Head.
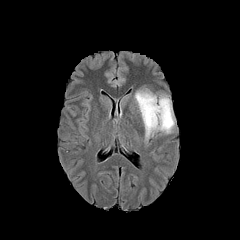
FLAIR MRI.
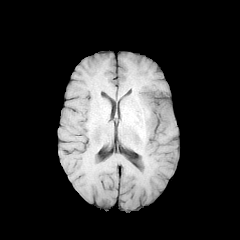
T1-weighted MRI of the same slice.
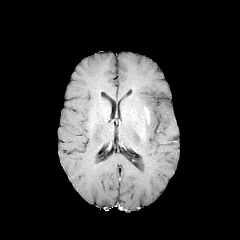
Post-contrast T1-weighted MR image of the same slice.
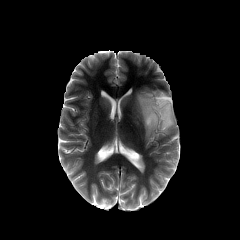
T2-weighted MRI.
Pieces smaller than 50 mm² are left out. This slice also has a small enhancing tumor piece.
The peritumoral edema is located at region(135, 90, 175, 139).